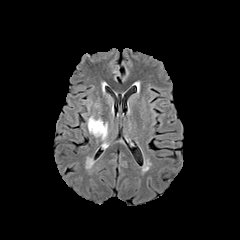
FLAIR MR image.
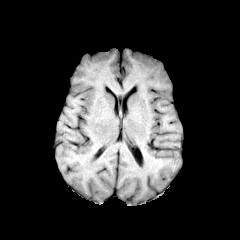
T1-weighted MR image of the same slice.
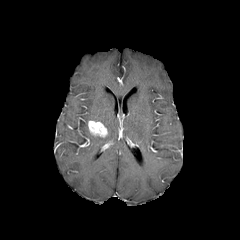
Post-contrast T1-weighted MRI.
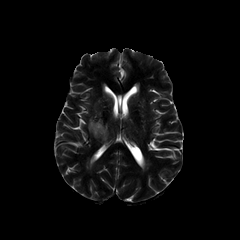
T2-weighted MRI of the same slice.
Image size 240x240, Axial plane
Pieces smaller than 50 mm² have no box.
peritumoral_edema:
  - 88,116,103,123
enhancing_tumor:
  - 88,120,107,137